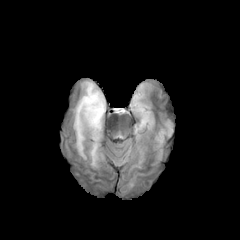
FLAIR MRI.
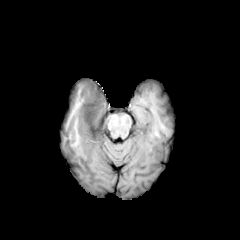
T1-weighted MR of the same slice.
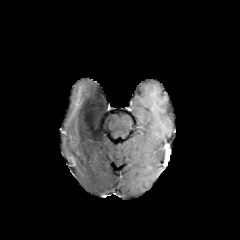
Post-contrast T1-weighted MRI.
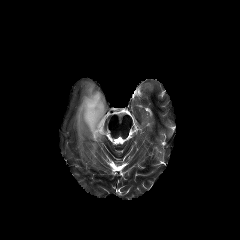
Same slice, T2-weighted magnetic resonance.
Axial slice; 240x240
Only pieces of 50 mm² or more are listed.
necrotic tumor core: bounding box box=[78, 90, 104, 139]
peritumoral edema: bounding box box=[74, 82, 97, 156]; box=[90, 132, 102, 165]